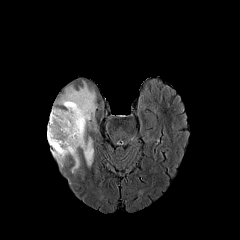
FLAIR MR.
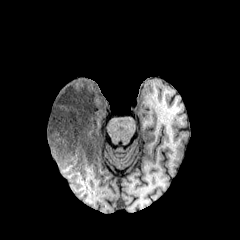
Same slice, T1-weighted MR.
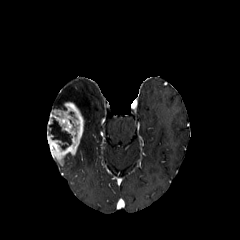
Post-contrast T1-weighted MRI of the same slice.
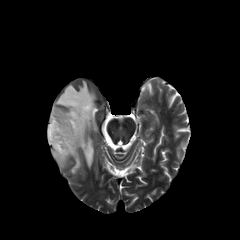
T2-weighted magnetic resonance.
240x240 px; Axial plane; Brain
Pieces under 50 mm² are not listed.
enhancing_tumor:
  - 47:102:84:166
necrotic_tumor_core:
  - 49:118:71:145
peritumoral_edema:
  - 71:149:80:173
  - 55:81:96:166